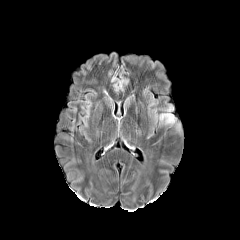
FLAIR MR.
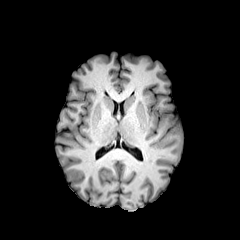
T1-weighted magnetic resonance.
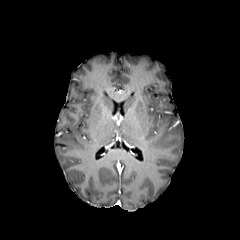
Same slice, post-contrast T1-weighted MR.
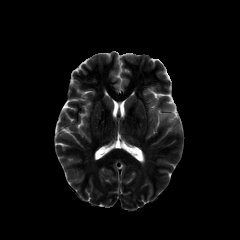
T2-weighted magnetic resonance of the same slice.
Axial plane.
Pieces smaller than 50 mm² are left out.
{
  "peritumoral_edema": [
    "160 113 175 123"
  ]
}